Slice 79/155, Axial plane, Head, Image width 240 mm, 1.00 mm slice spacing
FLAIR MR.
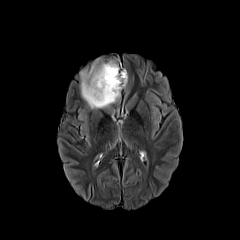
T1-weighted MRI.
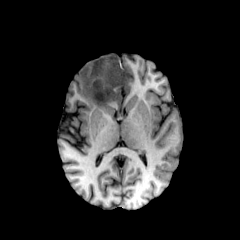
Post-contrast T1-weighted MRI.
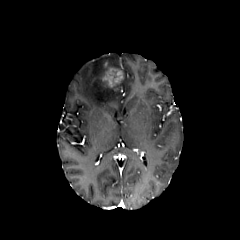
T2-weighted magnetic resonance.
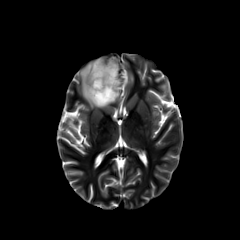
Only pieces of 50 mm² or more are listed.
* peritumoral edema: (80,58,127,109), (106,58,119,68)
* enhancing tumor: (102,63,123,87)